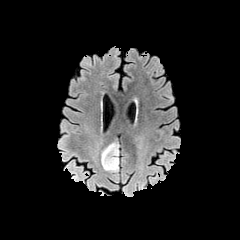
FLAIR MRI.
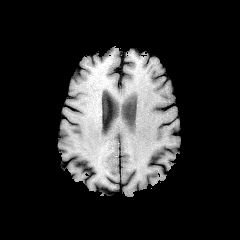
Same slice, T1-weighted MR.
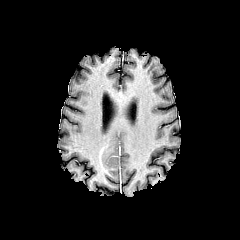
Same slice, post-contrast T1-weighted MR image.
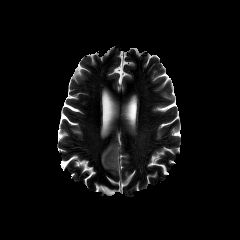
T2-weighted magnetic resonance.
Brain.
enhancing tumor = [x1=100, y1=144, x2=108, y2=170]
peritumoral edema = [x1=102, y1=142, x2=118, y2=171]